240x240 px. Slice index 60.
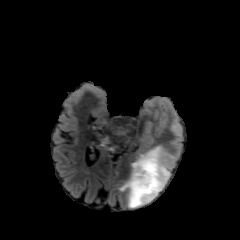
FLAIR MRI.
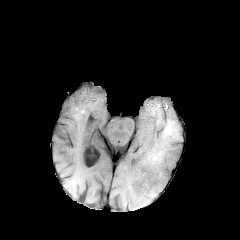
T1-weighted MR image.
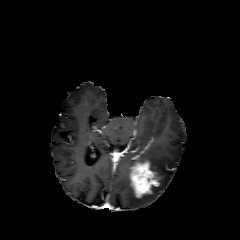
Post-contrast T1-weighted MR of the same slice.
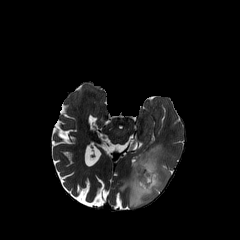
T2-weighted MRI.
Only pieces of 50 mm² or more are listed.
The enhancing tumor lies within bbox(130, 160, 159, 197). The largest peritumoral edema region is bounded by bbox(119, 145, 174, 207).